FLAIR MRI.
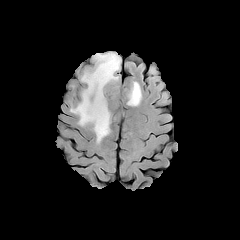
T1-weighted MR.
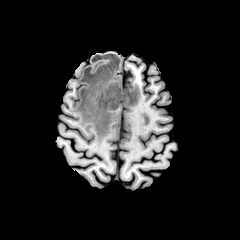
Post-contrast T1-weighted MRI.
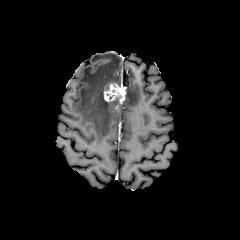
T2-weighted MRI.
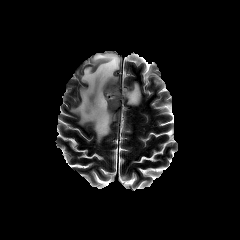
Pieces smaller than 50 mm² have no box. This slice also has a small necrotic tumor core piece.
The enhancing tumor appears at (x1=104, y1=83, x2=126, y2=103). 2 peritumoral edema regions are bounded by (x1=70, y1=52, x2=121, y2=142), (x1=126, y1=82, x2=141, y2=105).